FLAIR MR.
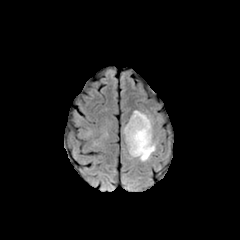
T1-weighted MR image.
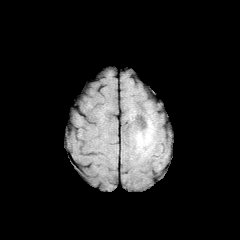
Post-contrast T1-weighted magnetic resonance.
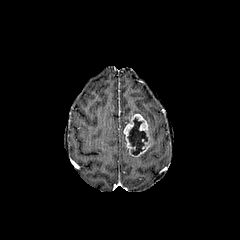
T2-weighted MR image.
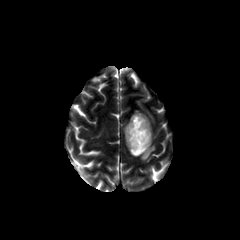
Head
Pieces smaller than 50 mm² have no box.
peritumoral edema at left=132, top=110, right=155, bottom=161
necrotic tumor core at left=127, top=118, right=147, bottom=155
enhancing tumor at left=123, top=114, right=151, bottom=156